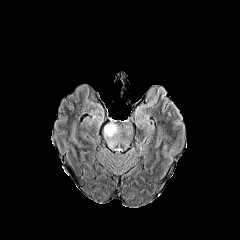
FLAIR MR.
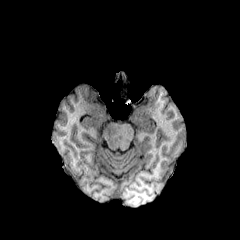
T1-weighted MRI of the same slice.
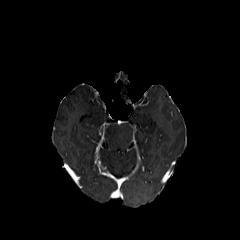
Post-contrast T1-weighted magnetic resonance.
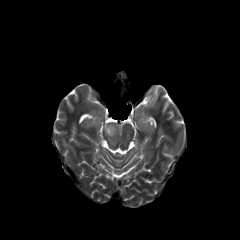
Same slice, T2-weighted MR image.
peritumoral edema: box=[105, 124, 118, 146]